FLAIR magnetic resonance.
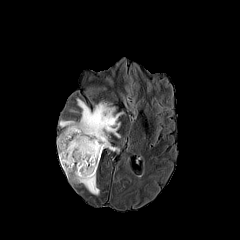
T1-weighted magnetic resonance.
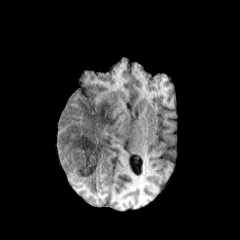
Post-contrast T1-weighted MR image.
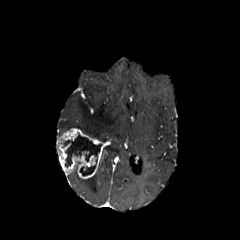
T2-weighted MR.
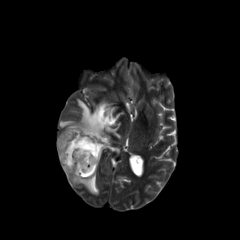
Brain | 240x240 px
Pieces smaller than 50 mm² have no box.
<segmentation>
  <enhancing_tumor><bbox>56, 128, 109, 178</bbox></enhancing_tumor>
  <peritumoral_edema><bbox>104, 144, 119, 154</bbox>, <bbox>68, 170, 99, 194</bbox>, <bbox>59, 98, 124, 142</bbox></peritumoral_edema>
  <necrotic_tumor_core><bbox>79, 165, 95, 175</bbox>, <bbox>63, 133, 101, 167</bbox></necrotic_tumor_core>
</segmentation>